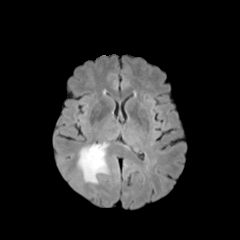
FLAIR MRI.
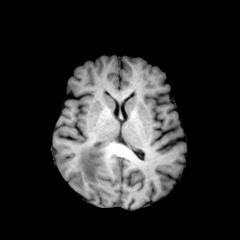
T1-weighted MR image.
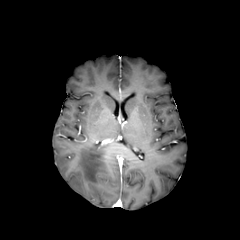
Post-contrast T1-weighted MR.
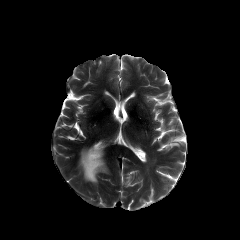
Same slice, T2-weighted MR.
Head; Axial slice; Image size 240x240
Segmented structures:
• peritumoral edema: 78:144:108:183